Brain, Image size 240x240
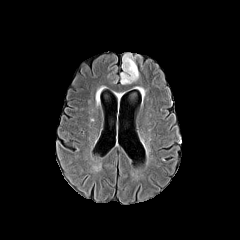
FLAIR MR image.
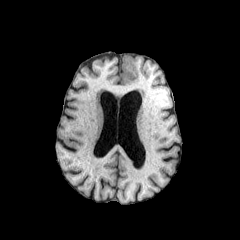
T1-weighted magnetic resonance.
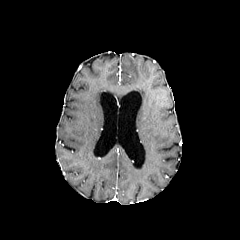
Post-contrast T1-weighted MRI of the same slice.
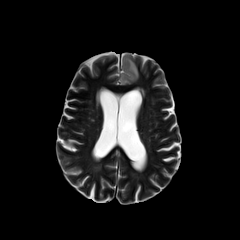
T2-weighted MRI.
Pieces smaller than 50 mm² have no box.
peritumoral_edema:
  - 121 53 138 84